FLAIR MRI.
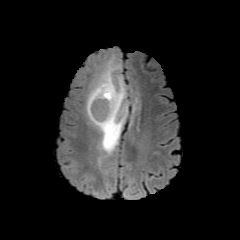
T1-weighted magnetic resonance.
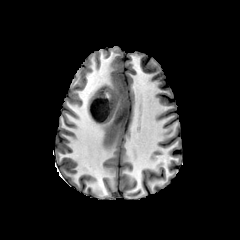
Post-contrast T1-weighted MR image.
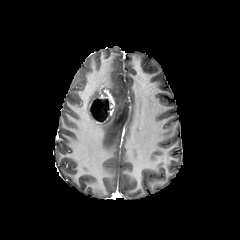
T2-weighted MR image.
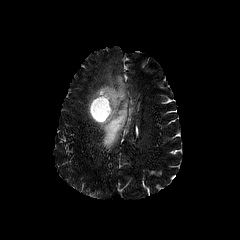
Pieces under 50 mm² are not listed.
peritumoral edema: {"x1": 86, "y1": 61, "x2": 128, "y2": 154}
enhancing tumor: {"x1": 90, "y1": 85, "x2": 114, "y2": 123}
necrotic tumor core: {"x1": 91, "y1": 98, "x2": 110, "y2": 122}